Axial slice | 240x240 px | Slice 68 of 155
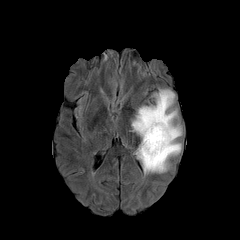
FLAIR MR.
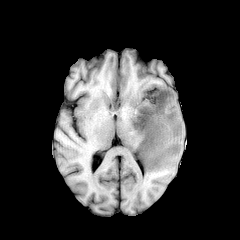
T1-weighted MRI of the same slice.
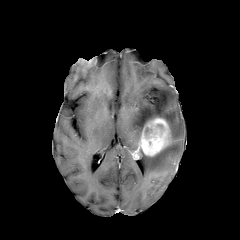
Same slice, post-contrast T1-weighted magnetic resonance.
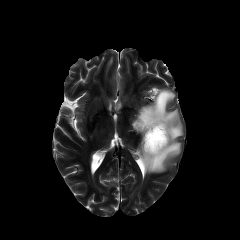
T2-weighted MR.
peritumoral edema: x1=131, y1=89, x2=182, y2=173 | enhancing tumor: x1=135, y1=117, x2=171, y2=157